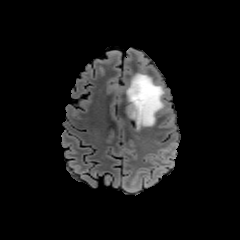
FLAIR magnetic resonance.
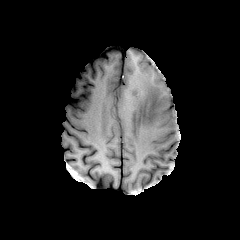
T1-weighted magnetic resonance.
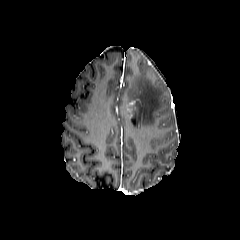
Post-contrast T1-weighted magnetic resonance of the same slice.
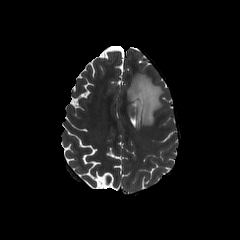
T2-weighted MR.
Image size 240x240 | Brain
peritumoral edema: bounding box [125, 73, 164, 128]